240x240, Brain, Slice 47 of 155
FLAIR MR.
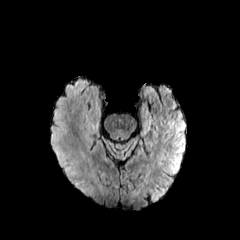
T1-weighted MR image.
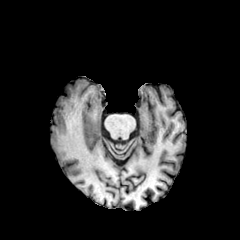
Post-contrast T1-weighted MR image.
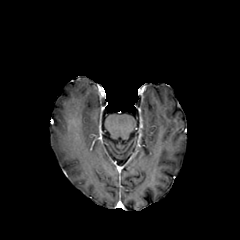
T2-weighted MR image.
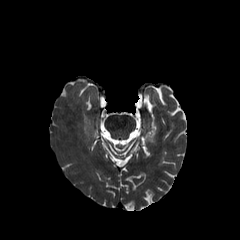
The peritumoral edema is bounded by 49 138 91 196.